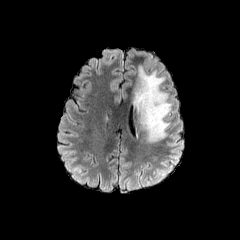
FLAIR MR image.
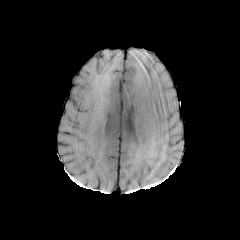
Same slice, T1-weighted MRI.
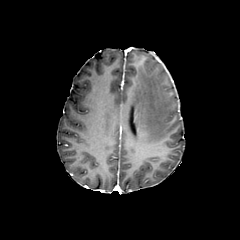
Post-contrast T1-weighted magnetic resonance.
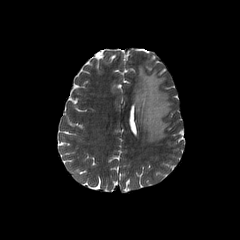
T2-weighted magnetic resonance of the same slice.
240x240 px. Axial plane.
{
  "peritumoral_edema": [
    "bbox=[131, 66, 171, 141]"
  ]
}